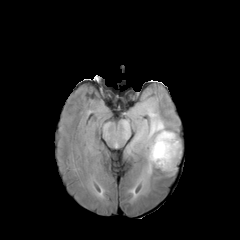
FLAIR MR.
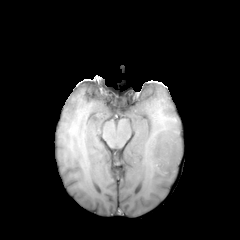
T1-weighted MRI.
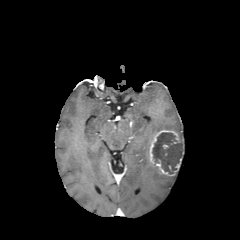
Post-contrast T1-weighted MR image.
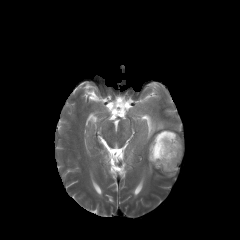
T2-weighted MR of the same slice.
Image size 240x240
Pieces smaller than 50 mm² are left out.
enhancing_tumor:
  - (149,130,184,175)
peritumoral_edema:
  - (127,101,169,193)
necrotic_tumor_core:
  - (152,132,182,174)